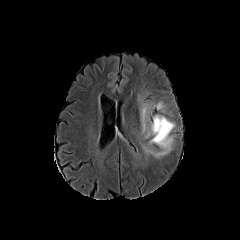
FLAIR MR image.
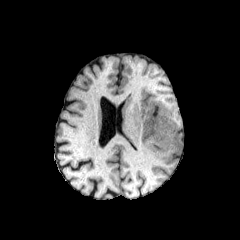
T1-weighted MRI of the same slice.
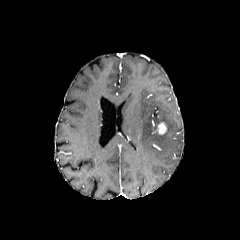
Post-contrast T1-weighted MR image.
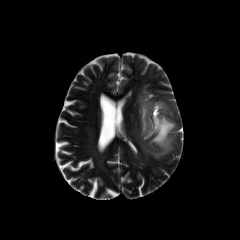
T2-weighted MR image.
Head
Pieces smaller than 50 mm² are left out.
• enhancing tumor: <bbox>156, 122, 167, 134</bbox>
• peritumoral edema: <bbox>143, 116, 174, 157</bbox>, <bbox>140, 103, 150, 137</bbox>